Brain; Image width 240 mm
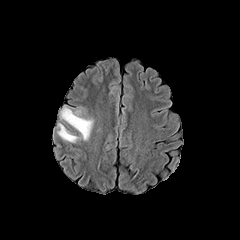
FLAIR MR.
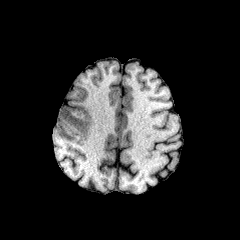
T1-weighted MR of the same slice.
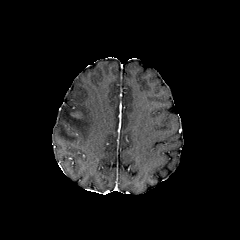
Post-contrast T1-weighted magnetic resonance.
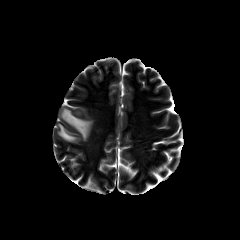
T2-weighted MR.
Findings:
• peritumoral edema: x1=57 y1=106 x2=93 y2=142